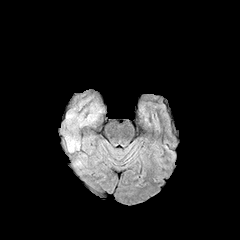
FLAIR magnetic resonance.
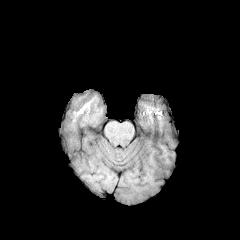
T1-weighted magnetic resonance.
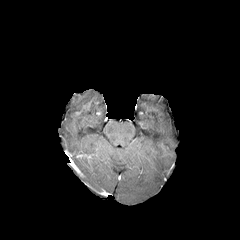
Post-contrast T1-weighted magnetic resonance.
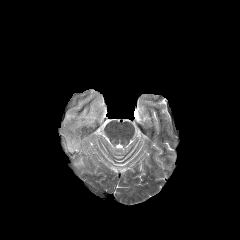
T2-weighted MR image.
Brain. Axial view.
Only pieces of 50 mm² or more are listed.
peritumoral edema at <bbox>67, 113, 75, 121</bbox>, <bbox>77, 115, 95, 125</bbox>, <bbox>65, 134, 79, 152</bbox>